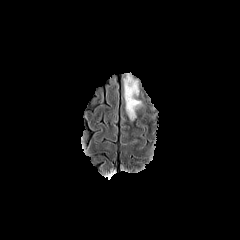
FLAIR MR image.
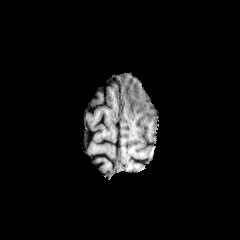
T1-weighted magnetic resonance of the same slice.
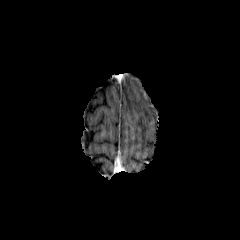
Post-contrast T1-weighted MR of the same slice.
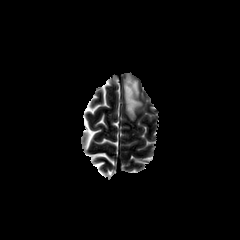
T2-weighted magnetic resonance.
Axial plane
peritumoral_edema:
  - 124 75 141 119